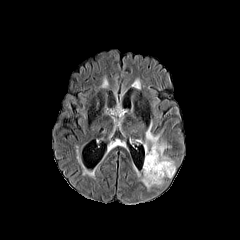
FLAIR MR.
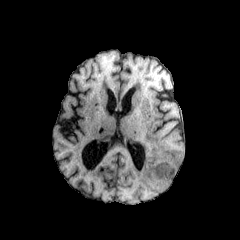
T1-weighted magnetic resonance of the same slice.
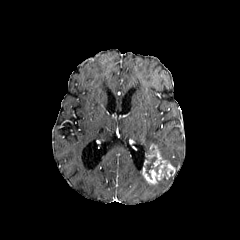
Post-contrast T1-weighted MR image.
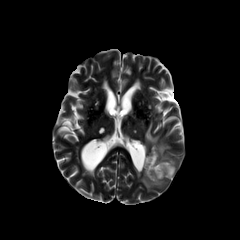
T2-weighted magnetic resonance.
Axial view
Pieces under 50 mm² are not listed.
enhancing tumor: bounding box <box>142,144,175,184</box>
peritumoral edema: bounding box <box>141,177,162,189</box>, <box>144,122,175,168</box>
necrotic tumor core: bounding box <box>145,156,156,177</box>